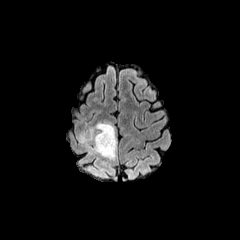
FLAIR MRI.
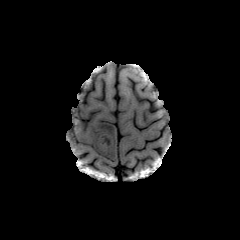
Same slice, T1-weighted magnetic resonance.
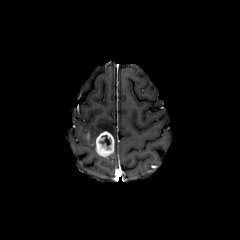
Post-contrast T1-weighted MR.
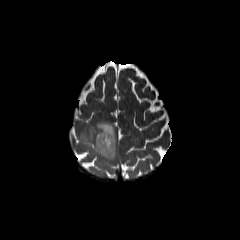
Same slice, T2-weighted MR image.
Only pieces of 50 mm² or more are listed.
peritumoral edema: bounding box <box>79,122,116,159</box>
necrotic tumor core: bounding box <box>100,135,110,145</box>
enhancing tumor: bounding box <box>95,131,114,157</box>